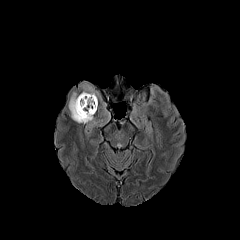
FLAIR MRI.
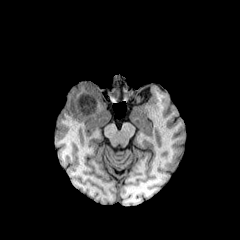
T1-weighted MR.
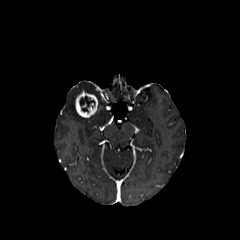
Post-contrast T1-weighted MR.
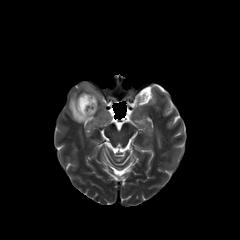
Same slice, T2-weighted MR.
Brain.
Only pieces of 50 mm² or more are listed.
peritumoral_edema:
  - bbox(79, 82, 98, 98)
  - bbox(99, 106, 109, 121)
  - bbox(68, 92, 101, 136)
enhancing_tumor:
  - bbox(75, 91, 97, 118)
necrotic_tumor_core:
  - bbox(79, 96, 95, 112)